FLAIR MR.
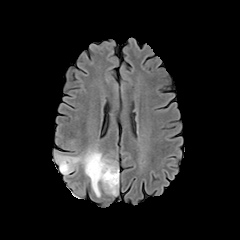
T1-weighted magnetic resonance.
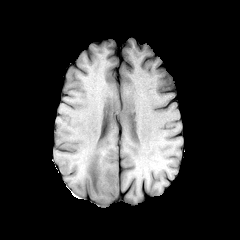
Post-contrast T1-weighted MRI.
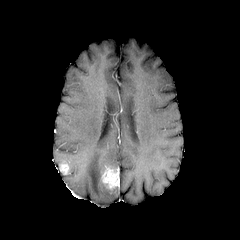
T2-weighted magnetic resonance.
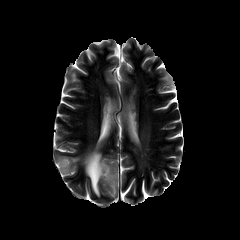
Head.
<segmentation>
  <peritumoral_edema>[x1=56, y1=149, x2=117, y2=197], [x1=102, y1=183, x2=117, y2=196]</peritumoral_edema>
  <enhancing_tumor>[x1=101, y1=166, x2=117, y2=189], [x1=60, y1=161, x2=69, y2=174]</enhancing_tumor>
</segmentation>